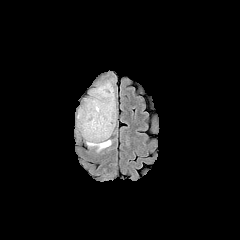
FLAIR MR.
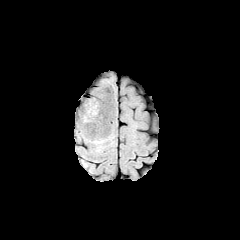
Same slice, T1-weighted MRI.
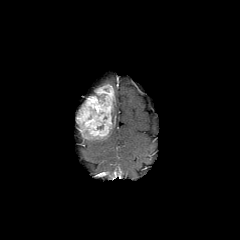
Post-contrast T1-weighted MR image.
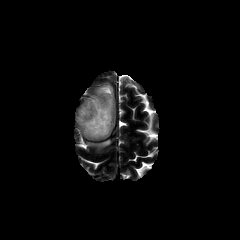
T2-weighted magnetic resonance.
240x240.
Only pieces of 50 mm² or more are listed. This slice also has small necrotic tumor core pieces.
enhancing tumor: 76 84 115 139
peritumoral edema: 113 92 116 124, 86 125 114 151